Image width 240 mm, 1.00 mm slice spacing, Slice 81/155, 240x240, Head
FLAIR MR image.
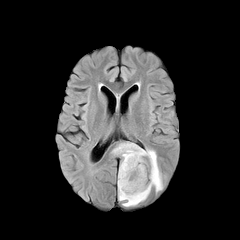
T1-weighted MR.
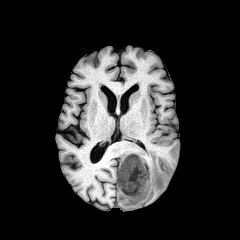
Post-contrast T1-weighted MRI.
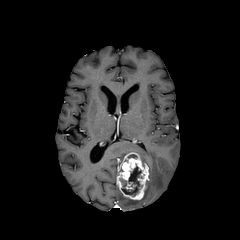
T2-weighted MR.
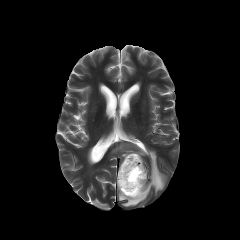
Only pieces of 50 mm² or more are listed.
peritumoral edema = [x1=113, y1=143, x2=164, y2=206]
necrotic tumor core = [x1=122, y1=166, x2=141, y2=195]
enhancing tumor = [x1=117, y1=152, x2=149, y2=199]